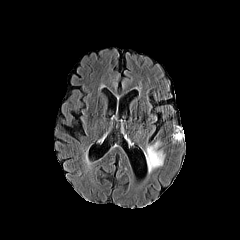
FLAIR magnetic resonance.
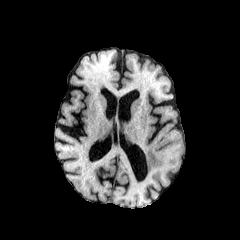
T1-weighted MR image of the same slice.
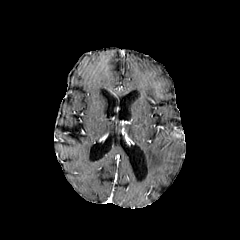
Post-contrast T1-weighted MRI.
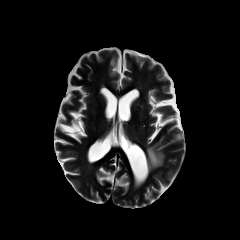
T2-weighted MR.
Brain
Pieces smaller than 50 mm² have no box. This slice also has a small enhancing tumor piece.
<segmentation>
  <peritumoral_edema>bbox=[146, 142, 164, 170]</peritumoral_edema>
</segmentation>